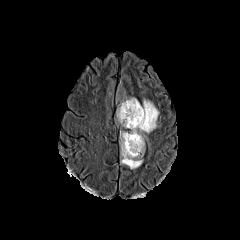
FLAIR magnetic resonance.
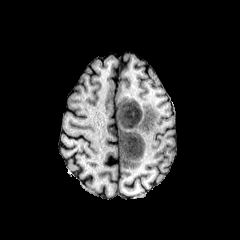
T1-weighted magnetic resonance.
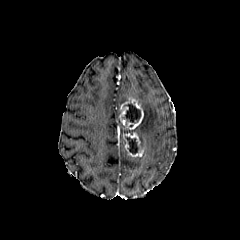
Post-contrast T1-weighted MR image.
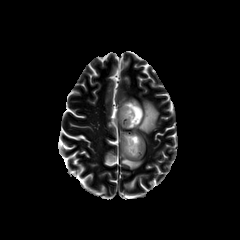
T2-weighted MR image of the same slice.
Brain.
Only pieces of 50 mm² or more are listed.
peritumoral_edema:
  - l=115, t=99, r=158, b=148
  - l=121, t=142, r=142, b=169
necrotic_tumor_core:
  - l=125, t=137, r=138, b=154
  - l=124, t=104, r=140, b=122
enhancing_tumor:
  - l=121, t=132, r=144, b=158
  - l=118, t=98, r=143, b=129